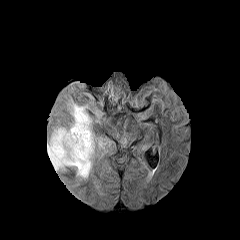
FLAIR magnetic resonance.
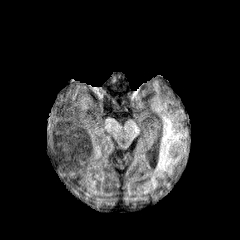
T1-weighted MRI of the same slice.
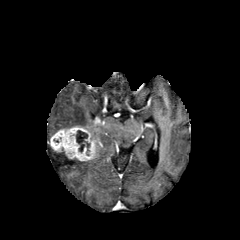
Post-contrast T1-weighted MRI.
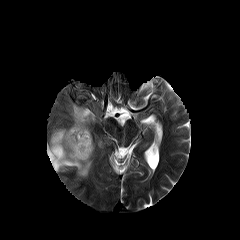
T2-weighted MR image.
Axial plane, Brain
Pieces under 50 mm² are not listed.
{
  "necrotic_tumor_core": [
    "left=76, top=130, right=89, bottom=152"
  ],
  "enhancing_tumor": [
    "left=49, top=126, right=95, bottom=161"
  ],
  "peritumoral_edema": [
    "left=70, top=103, right=91, bottom=133",
    "left=47, top=144, right=92, bottom=178"
  ]
}